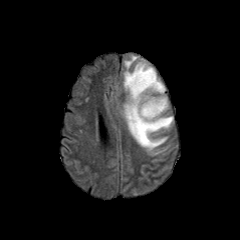
FLAIR MRI.
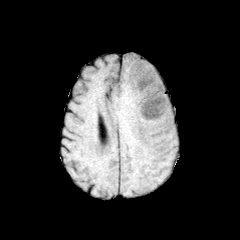
T1-weighted MR.
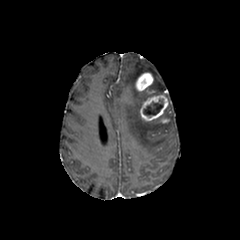
Same slice, post-contrast T1-weighted MR image.
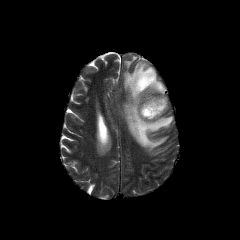
Same slice, T2-weighted magnetic resonance.
Head | Axial slice | 240x240 px
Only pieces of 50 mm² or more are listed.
- necrotic tumor core: box(143, 100, 163, 115)
- enhancing tumor: box(135, 72, 153, 91); box(159, 117, 169, 123); box(140, 91, 168, 121)
- peritumoral edema: box(123, 56, 172, 154)